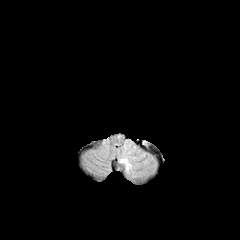
FLAIR MRI.
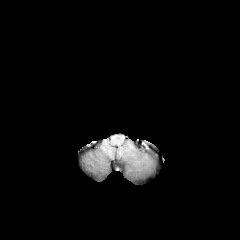
Same slice, T1-weighted MR.
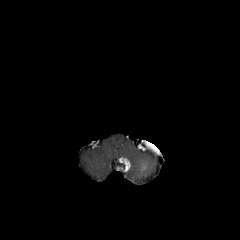
Post-contrast T1-weighted MR image of the same slice.
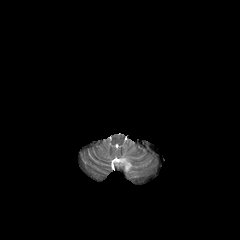
T2-weighted MR image.
Brain | Axial view
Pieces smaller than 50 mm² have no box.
The largest peritumoral edema region appears at rect(117, 140, 156, 179). The largest enhancing tumor region is at rect(119, 157, 130, 171).